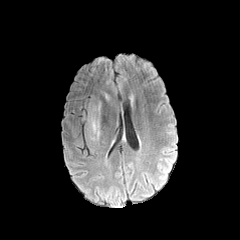
FLAIR MR image.
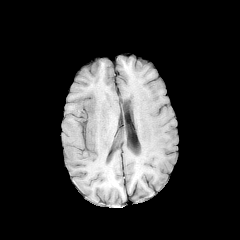
T1-weighted magnetic resonance.
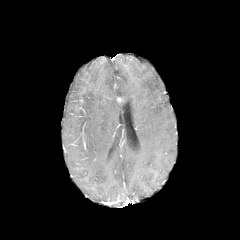
Post-contrast T1-weighted magnetic resonance of the same slice.
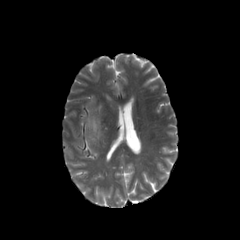
Same slice, T2-weighted MRI.
240x240 px. Axial slice. Head.
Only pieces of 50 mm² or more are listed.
peritumoral edema: region(87, 103, 100, 139)